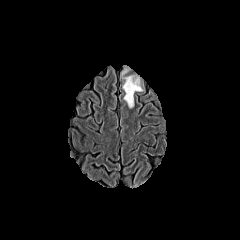
FLAIR magnetic resonance.
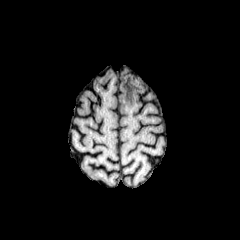
T1-weighted magnetic resonance.
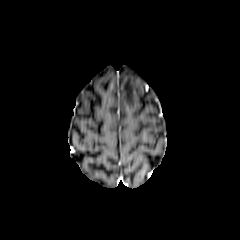
Post-contrast T1-weighted MR image.
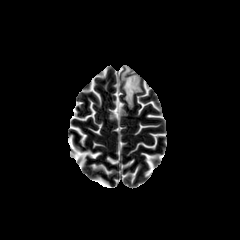
T2-weighted MR.
Axial plane; Brain; Image size 240x240
<segmentation>
  <peritumoral_edema>rect(122, 68, 142, 107)</peritumoral_edema>
</segmentation>